Image size 240x240, Brain, Axial slice, Slice index 91
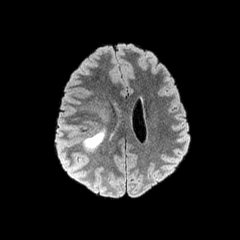
FLAIR MR.
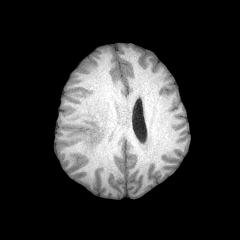
Same slice, T1-weighted magnetic resonance.
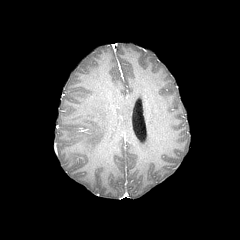
Post-contrast T1-weighted MR.
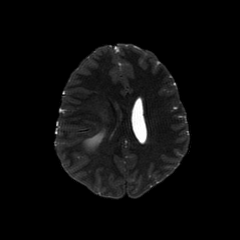
T2-weighted MR image of the same slice.
peritumoral edema = 83 129 104 150